FLAIR MR image.
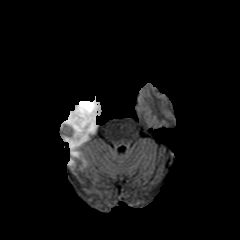
T1-weighted MR.
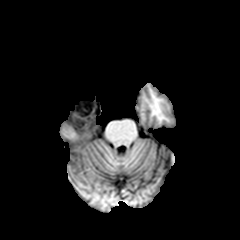
Post-contrast T1-weighted MRI.
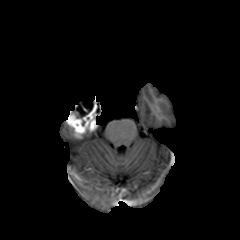
T2-weighted magnetic resonance.
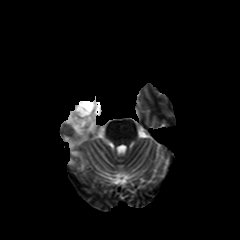
Axial plane
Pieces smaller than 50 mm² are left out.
The largest necrotic tumor core region is at <bbox>73, 101, 93, 117</bbox>. The largest enhancing tumor region lies within <bbox>65, 96, 100, 138</bbox>. The largest peritumoral edema region lies within <bbox>65, 131, 94, 165</bbox>.